FLAIR magnetic resonance.
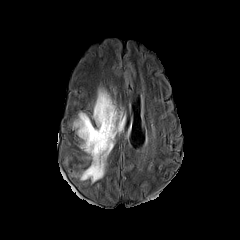
T1-weighted MRI.
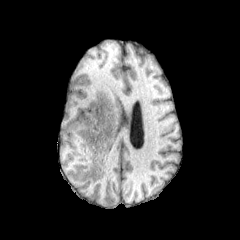
Post-contrast T1-weighted MRI.
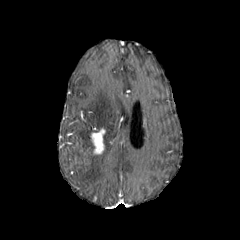
T2-weighted magnetic resonance.
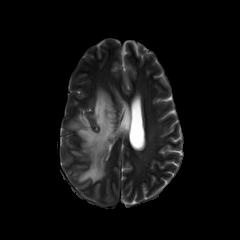
Brain, 240x240 px
Findings:
• enhancing tumor: {"x1": 90, "y1": 128, "x2": 105, "y2": 154}
• peritumoral edema: {"x1": 73, "y1": 88, "x2": 124, "y2": 182}